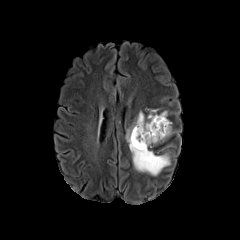
FLAIR MR image.
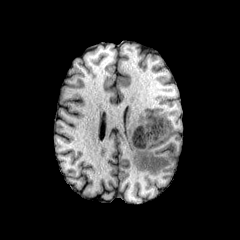
Same slice, T1-weighted MR image.
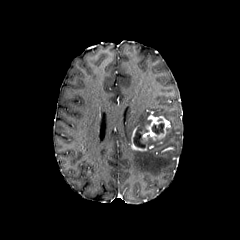
Post-contrast T1-weighted magnetic resonance.
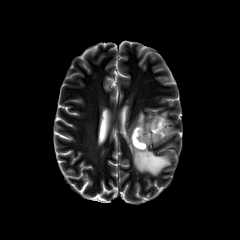
T2-weighted MR of the same slice.
Head
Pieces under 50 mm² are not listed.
The 2 largest necrotic tumor core regions appear at (152,123,164,134), (133,127,151,148). 2 enhancing tumor regions appear at (131,126,147,151), (140,115,170,142). The largest peritumoral edema region is bounded by (126,111,170,175).